Axial plane; Image width 240 mm; Head
FLAIR MR.
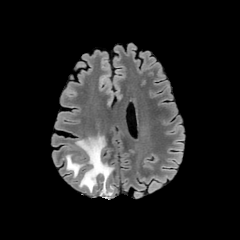
T1-weighted MR image.
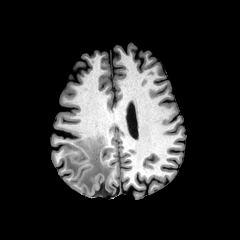
Post-contrast T1-weighted magnetic resonance.
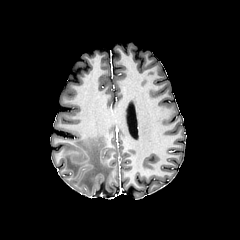
T2-weighted MR.
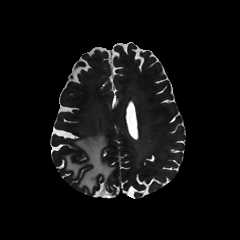
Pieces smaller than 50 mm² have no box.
The largest peritumoral edema region is located at [65, 136, 113, 192].